FLAIR MR.
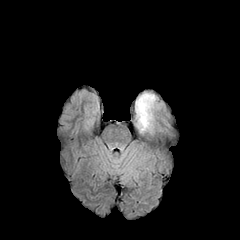
T1-weighted MR.
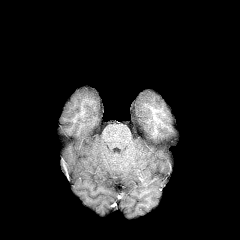
Post-contrast T1-weighted MR.
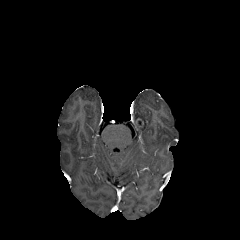
T2-weighted magnetic resonance.
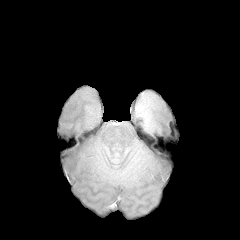
Axial slice
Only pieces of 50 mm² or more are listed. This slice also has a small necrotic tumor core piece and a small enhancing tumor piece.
Segmented structures:
- peritumoral edema: (x1=135, y1=92, x2=158, y2=133)